FLAIR MRI.
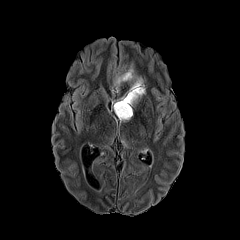
T1-weighted magnetic resonance.
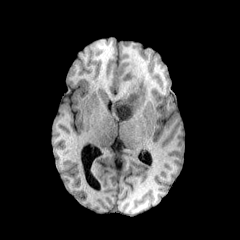
Post-contrast T1-weighted magnetic resonance.
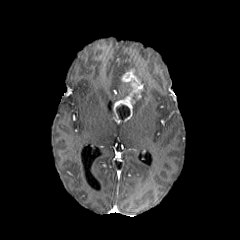
T2-weighted magnetic resonance.
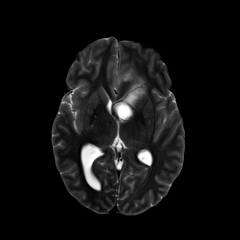
Brain, 240x240 px
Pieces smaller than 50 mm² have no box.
The enhancing tumor lies within 113, 69, 143, 121. The largest necrotic tumor core region is located at 116, 105, 129, 120. The largest peritumoral edema region appears at 115, 74, 123, 85.